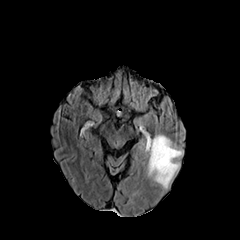
FLAIR MR image.
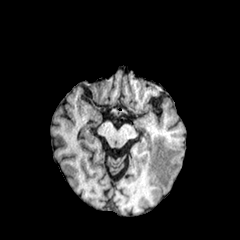
Same slice, T1-weighted MRI.
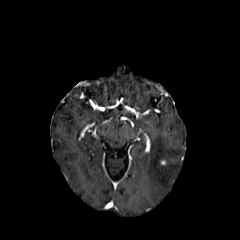
Post-contrast T1-weighted MRI.
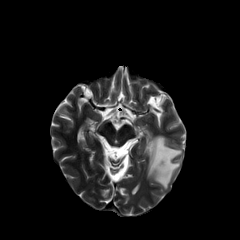
Same slice, T2-weighted magnetic resonance.
Brain
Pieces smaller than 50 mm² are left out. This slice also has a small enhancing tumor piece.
peritumoral edema at [148,135,182,189]